Image covers 240 mm x 240 mm. Head. Slice 71/155.
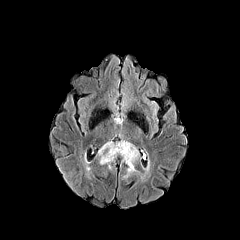
FLAIR MR image.
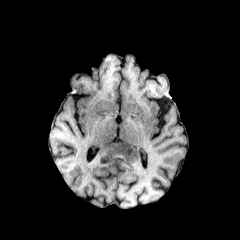
T1-weighted MR image.
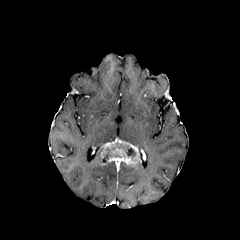
Post-contrast T1-weighted MR image.
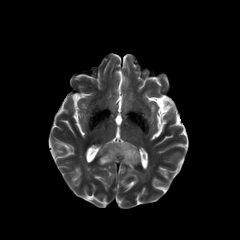
Same slice, T2-weighted magnetic resonance.
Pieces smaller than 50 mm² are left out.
{
  "peritumoral_edema": [
    "[x1=124, y1=166, x2=136, y2=177]"
  ],
  "necrotic_tumor_core": [
    "[x1=126, y1=148, x2=135, y2=156]"
  ],
  "enhancing_tumor": [
    "[x1=99, y1=140, x2=140, y2=166]"
  ]
}